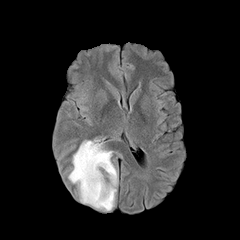
FLAIR magnetic resonance.
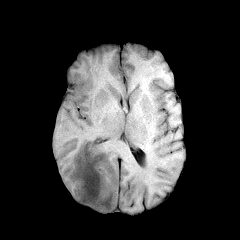
Same slice, T1-weighted MR.
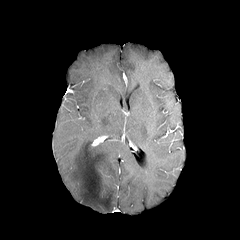
Post-contrast T1-weighted MR of the same slice.
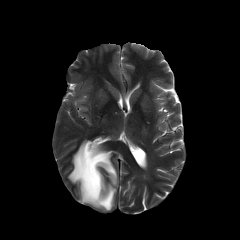
T2-weighted MR image of the same slice.
Axial plane.
Findings:
• peritumoral edema: [68, 140, 117, 211]